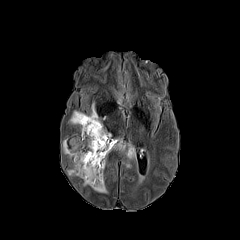
FLAIR MR image.
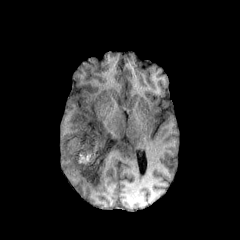
T1-weighted MR image.
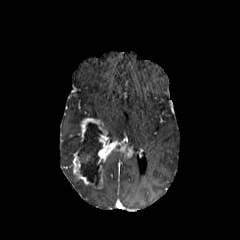
Same slice, post-contrast T1-weighted MR image.
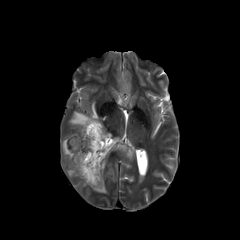
Same slice, T2-weighted MR.
Head
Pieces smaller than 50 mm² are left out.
necrotic_tumor_core:
  - l=78, t=122, r=102, b=186
enhancing_tumor:
  - l=71, t=117, r=133, b=188
peritumoral_edema:
  - l=91, t=180, r=107, b=193
  - l=69, t=103, r=98, b=124
  - l=63, t=137, r=79, b=159